Slice 39 of 155
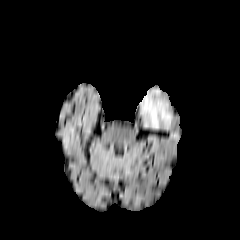
FLAIR MRI.
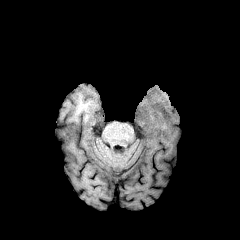
T1-weighted MRI.
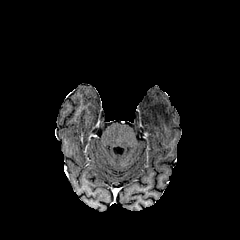
Post-contrast T1-weighted MR image of the same slice.
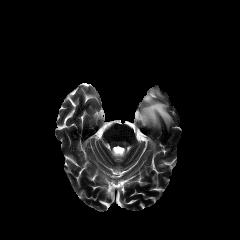
T2-weighted MR image.
* peritumoral edema: <box>140,89,171,127</box>